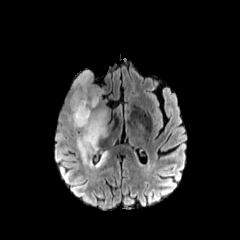
FLAIR magnetic resonance.
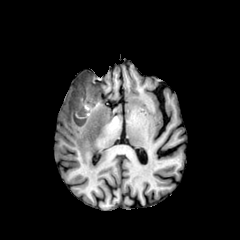
T1-weighted MR image.
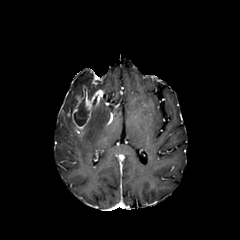
Post-contrast T1-weighted MR image of the same slice.
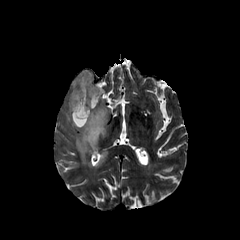
T2-weighted magnetic resonance of the same slice.
Axial plane; Head; Image size 240x240
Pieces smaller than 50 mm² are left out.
* necrotic tumor core: box(74, 98, 89, 125)
* enhancing tumor: box(66, 85, 104, 131)
* peritumoral edema: box(63, 70, 100, 115); box(67, 106, 107, 166); box(95, 152, 107, 167)